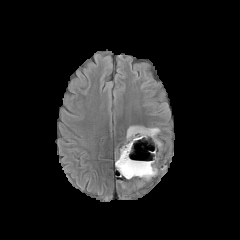
FLAIR MRI.
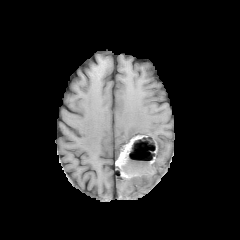
Same slice, T1-weighted MRI.
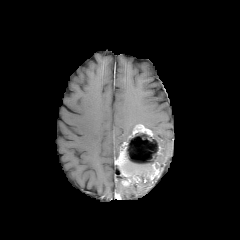
Post-contrast T1-weighted magnetic resonance.
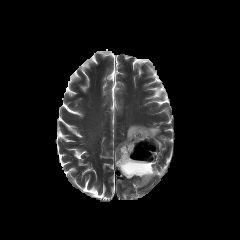
Same slice, T2-weighted MR image.
Axial view
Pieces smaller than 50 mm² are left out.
peritumoral_edema:
  - l=126, t=125, r=135, b=140
  - l=148, t=127, r=160, b=137
enhancing_tumor:
  - l=128, t=124, r=153, b=138
  - l=144, t=162, r=160, b=183
  - l=115, t=141, r=143, b=187
necrotic_tumor_core:
  - l=122, t=133, r=159, b=183